FLAIR MRI.
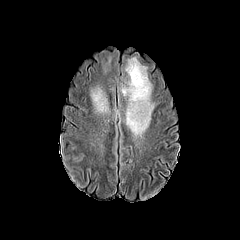
T1-weighted MRI.
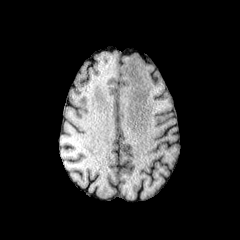
Post-contrast T1-weighted MR.
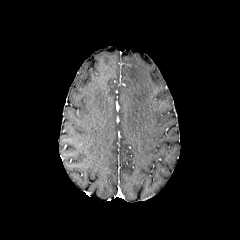
T2-weighted magnetic resonance.
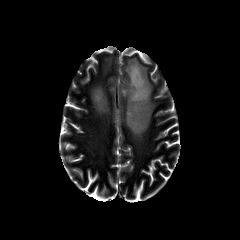
peritumoral edema at bbox(91, 88, 107, 112); bbox(121, 57, 153, 136)